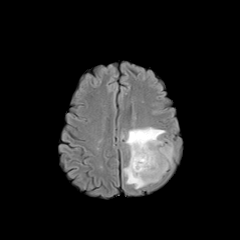
FLAIR MR image.
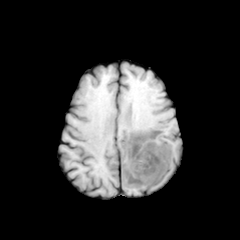
T1-weighted magnetic resonance.
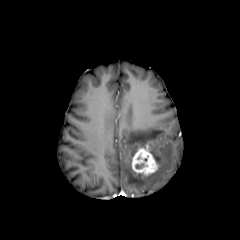
Post-contrast T1-weighted MR image.
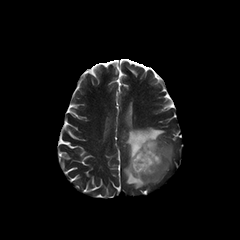
Same slice, T2-weighted magnetic resonance.
Axial plane | 240x240 px | Head
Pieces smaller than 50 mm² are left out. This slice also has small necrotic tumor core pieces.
peritumoral edema: bbox=[122, 127, 174, 189] | enhancing tumor: bbox=[132, 142, 158, 175]